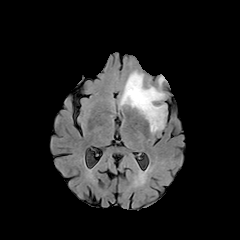
FLAIR MR.
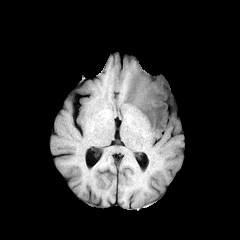
Same slice, T1-weighted MR image.
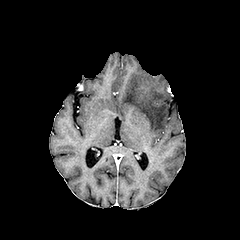
Post-contrast T1-weighted magnetic resonance of the same slice.
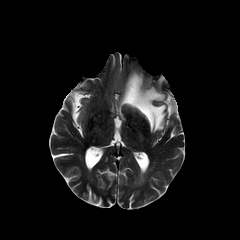
T2-weighted MRI.
Brain, Axial slice
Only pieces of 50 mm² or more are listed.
peritumoral edema at 120, 71, 166, 132